Image size 240x240, Slice index 101, Axial view
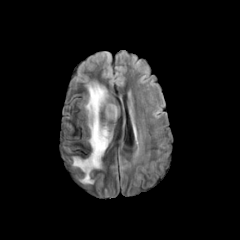
FLAIR MRI.
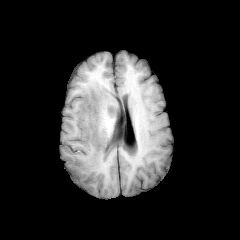
Same slice, T1-weighted magnetic resonance.
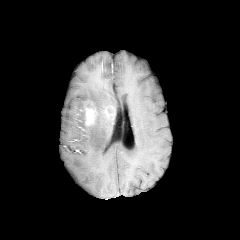
Post-contrast T1-weighted MR image.
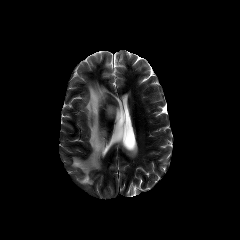
T2-weighted MR.
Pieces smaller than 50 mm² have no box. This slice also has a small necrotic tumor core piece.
Segmented structures:
- enhancing tumor: (84,100,96,125)
- peritumoral edema: (73,84,109,183)